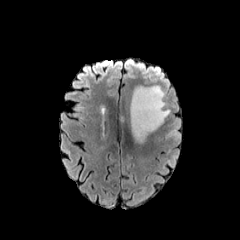
FLAIR MR.
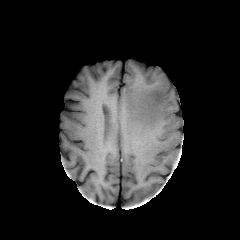
T1-weighted MR.
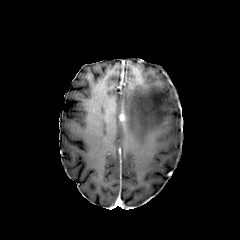
Post-contrast T1-weighted MRI of the same slice.
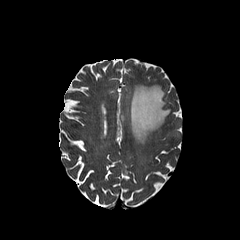
T2-weighted MRI.
240x240. Brain. Axial view.
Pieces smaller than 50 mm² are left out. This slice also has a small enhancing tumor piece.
The peritumoral edema appears at box=[130, 85, 170, 143].